Head
FLAIR MR.
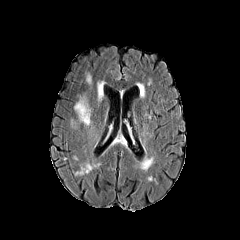
T1-weighted magnetic resonance.
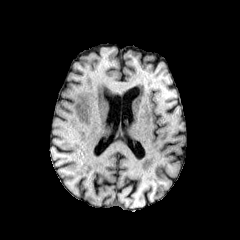
Post-contrast T1-weighted MRI.
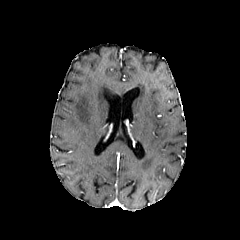
T2-weighted magnetic resonance.
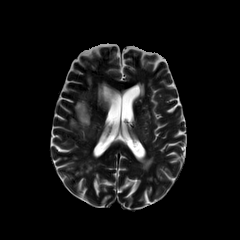
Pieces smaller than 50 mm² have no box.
<segmentation>
  <peritumoral_edema><bbox>98, 80, 103, 102</bbox>, <bbox>74, 93, 90, 125</bbox></peritumoral_edema>
</segmentation>